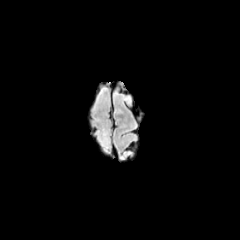
FLAIR MR.
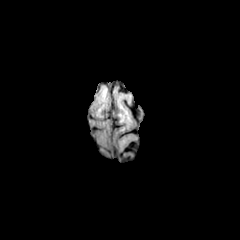
T1-weighted MR.
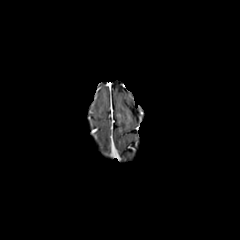
Post-contrast T1-weighted magnetic resonance.
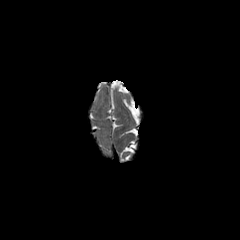
T2-weighted MRI.
Head. Axial plane.
peritumoral edema at box(98, 130, 109, 147)